Slice 126 of 155 | Brain
FLAIR MR.
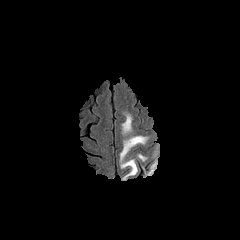
T1-weighted MR image.
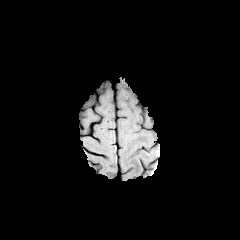
Post-contrast T1-weighted MR.
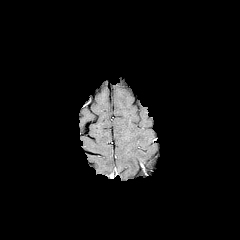
T2-weighted MRI.
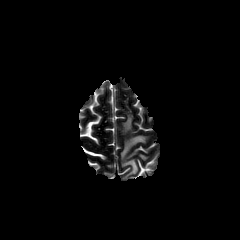
<segmentation>
  <peritumoral_edema>bbox=[120, 112, 149, 179]</peritumoral_edema>
</segmentation>